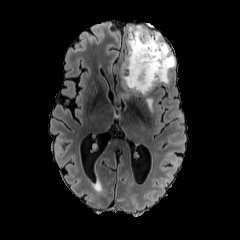
FLAIR magnetic resonance.
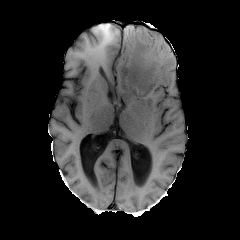
T1-weighted MR of the same slice.
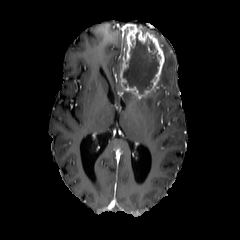
Post-contrast T1-weighted magnetic resonance.
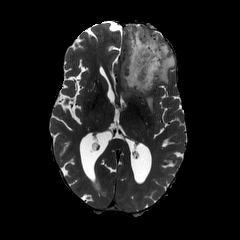
T2-weighted MR.
Axial slice; Brain
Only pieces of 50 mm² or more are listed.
enhancing tumor: {"x1": 120, "y1": 25, "x2": 164, "y2": 97} | peritumoral edema: {"x1": 143, "y1": 27, "x2": 175, "y2": 83}, {"x1": 122, "y1": 91, "x2": 131, "y2": 99}, {"x1": 145, "y1": 96, "x2": 153, "y2": 113} | necrotic tumor core: {"x1": 123, "y1": 33, "x2": 159, "y2": 94}